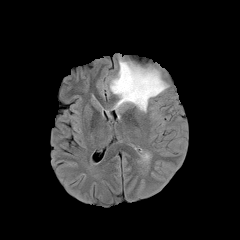
FLAIR MRI.
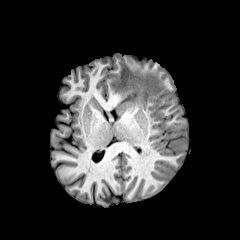
Same slice, T1-weighted MR image.
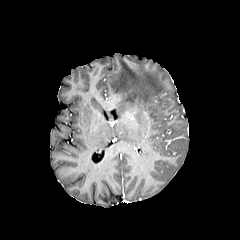
Post-contrast T1-weighted MRI.
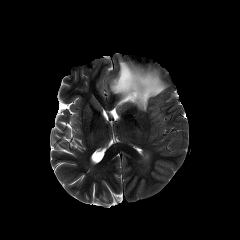
T2-weighted MR of the same slice.
Head
Findings:
• peritumoral edema: bbox(110, 60, 170, 111)